Head
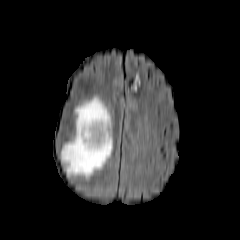
FLAIR MR image.
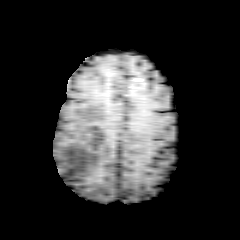
Same slice, T1-weighted MRI.
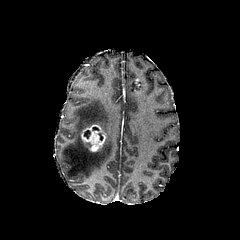
Post-contrast T1-weighted magnetic resonance.
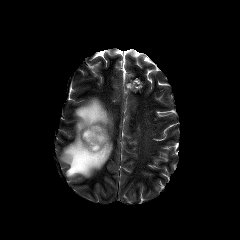
Same slice, T2-weighted MR.
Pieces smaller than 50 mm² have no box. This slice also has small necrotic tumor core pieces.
Annotated regions:
* enhancing tumor: bbox=[81, 124, 106, 151]
* peritumoral edema: bbox=[61, 97, 112, 177]